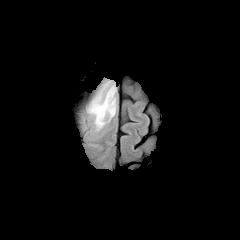
FLAIR MR image.
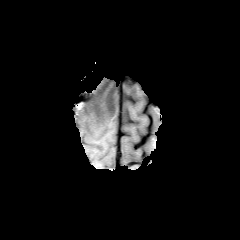
Same slice, T1-weighted MR image.
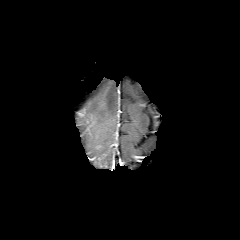
Post-contrast T1-weighted MR.
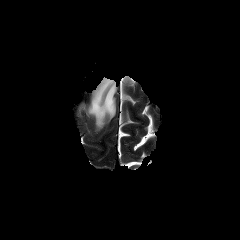
T2-weighted MRI.
Head.
peritumoral edema: rect(87, 81, 116, 130)